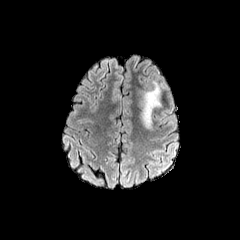
FLAIR MR image.
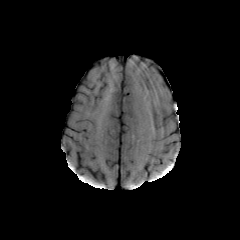
T1-weighted MRI.
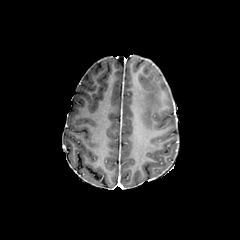
Post-contrast T1-weighted magnetic resonance.
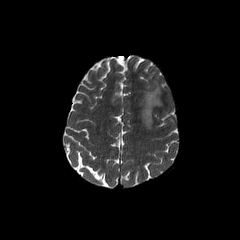
T2-weighted magnetic resonance of the same slice.
Brain. Axial view.
The peritumoral edema appears at 138 81 160 129.